FLAIR MR image.
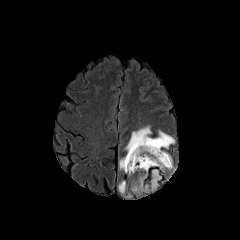
T1-weighted MR image.
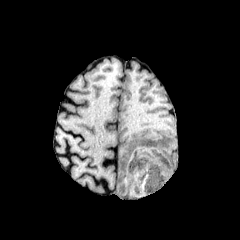
Post-contrast T1-weighted MRI.
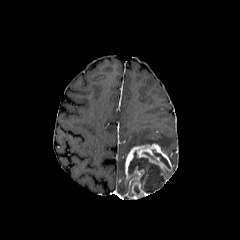
T2-weighted MR image.
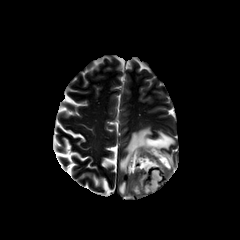
Head
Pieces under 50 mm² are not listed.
<segmentation>
  <necrotic_tumor_core>154, 153, 170, 168; 128, 152, 164, 192</necrotic_tumor_core>
  <peritumoral_edema>118, 181, 126, 194; 119, 157, 125, 171; 125, 126, 175, 153</peritumoral_edema>
  <enhancing_tumor>125, 143, 173, 197</enhancing_tumor>
</segmentation>